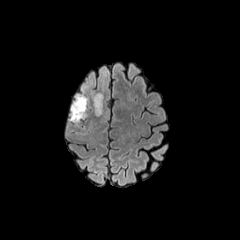
FLAIR magnetic resonance.
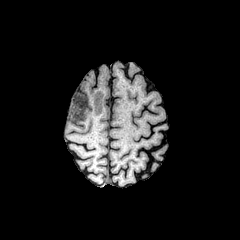
Same slice, T1-weighted MR image.
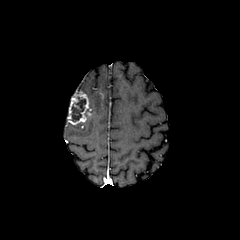
Post-contrast T1-weighted magnetic resonance of the same slice.
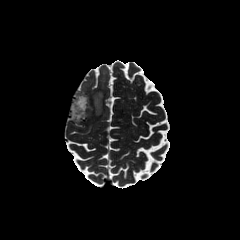
T2-weighted MR of the same slice.
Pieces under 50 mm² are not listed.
The enhancing tumor is bounded by [67,91,91,124]. The largest necrotic tumor core region lies within [71,97,85,121]. The peritumoral edema is bounded by [93,70,107,115].